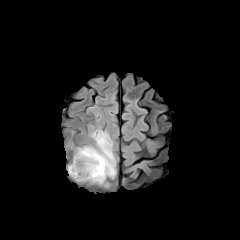
FLAIR magnetic resonance.
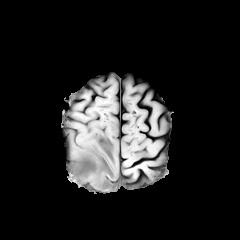
T1-weighted MR.
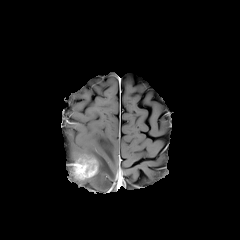
Same slice, post-contrast T1-weighted MRI.
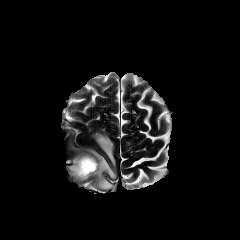
T2-weighted MR.
Image size 240x240. Head.
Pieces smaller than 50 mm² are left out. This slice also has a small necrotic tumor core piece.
Segmented structures:
• enhancing tumor: <box>70,152,101,180</box>
• peritumoral edema: <box>77,131,115,186</box>